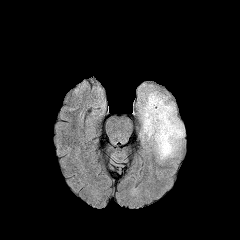
FLAIR magnetic resonance.
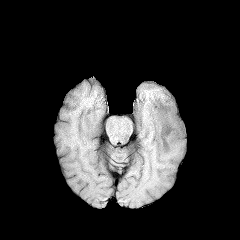
T1-weighted MR.
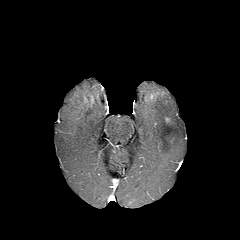
Same slice, post-contrast T1-weighted magnetic resonance.
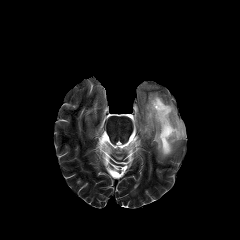
Same slice, T2-weighted MR.
Image size 240x240. Axial view.
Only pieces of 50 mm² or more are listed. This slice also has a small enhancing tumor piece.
Segmented structures:
• peritumoral edema: <box>140,91,184,160</box>